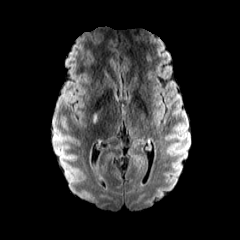
FLAIR magnetic resonance.
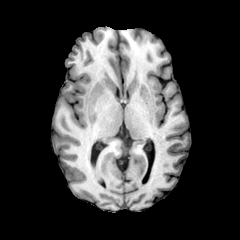
T1-weighted magnetic resonance.
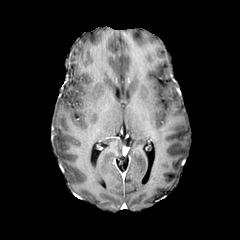
Post-contrast T1-weighted magnetic resonance of the same slice.
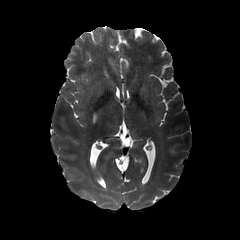
T2-weighted MRI.
Axial plane
The peritumoral edema is bounded by [92, 113, 98, 124].